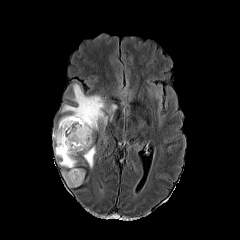
FLAIR MR.
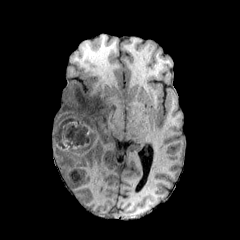
T1-weighted magnetic resonance.
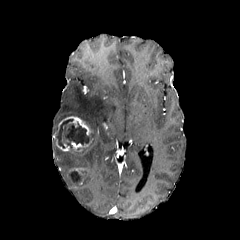
Post-contrast T1-weighted magnetic resonance.
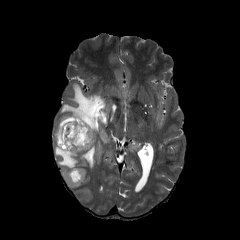
T2-weighted MR.
Axial view
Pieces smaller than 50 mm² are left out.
Annotated regions:
- enhancing tumor: bbox=[71, 139, 92, 150]; bbox=[52, 116, 91, 151]
- peritumoral edema: bbox=[110, 103, 117, 114]; bbox=[62, 83, 107, 135]; bbox=[54, 145, 95, 187]; bbox=[154, 89, 161, 101]
- necrotic tumor core: bbox=[72, 171, 82, 184]; bbox=[56, 119, 92, 150]